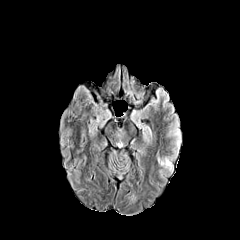
FLAIR MR.
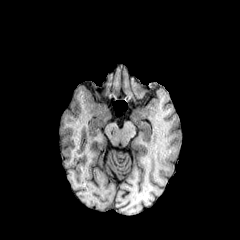
T1-weighted MR image.
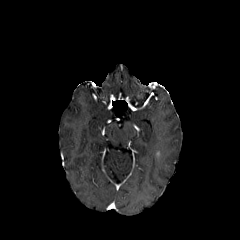
Same slice, post-contrast T1-weighted MRI.
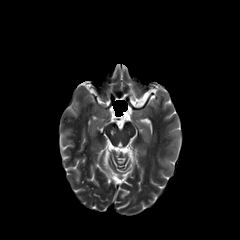
T2-weighted magnetic resonance.
Head, Axial view
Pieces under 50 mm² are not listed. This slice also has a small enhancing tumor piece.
peritumoral edema — [x1=169, y1=128, x2=180, y2=145], [x1=158, y1=158, x2=173, y2=171]